Image size 240x240; Brain; Slice 2 of 155; Axial plane
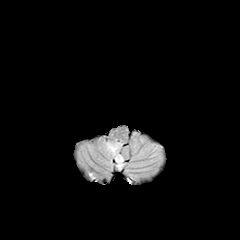
FLAIR MR.
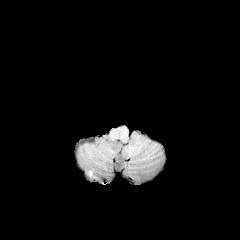
T1-weighted MR image.
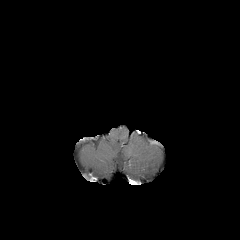
Post-contrast T1-weighted MRI of the same slice.
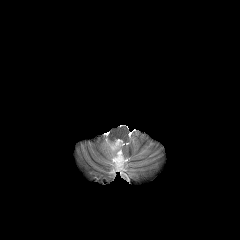
T2-weighted MR.
The peritumoral edema is located at (left=106, top=142, right=123, bottom=169).